FLAIR magnetic resonance.
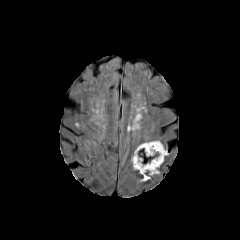
T1-weighted magnetic resonance.
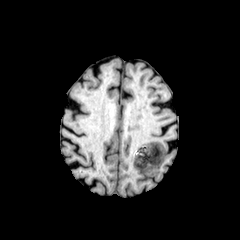
Post-contrast T1-weighted magnetic resonance.
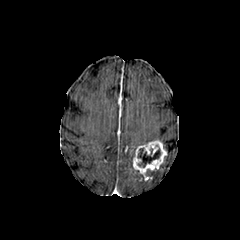
T2-weighted MR image.
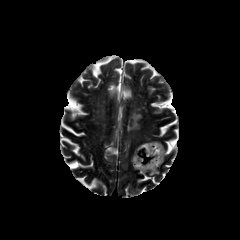
Image size 240x240, Axial view, Head
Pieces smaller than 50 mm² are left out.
* peritumoral edema: [148,169,159,176]
* enhancing tumor: [132,140,167,180]
* necrotic tumor core: [138,148,160,167]